FLAIR magnetic resonance.
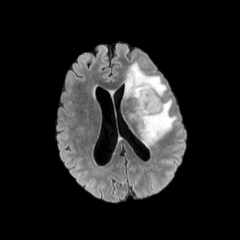
T1-weighted MR image.
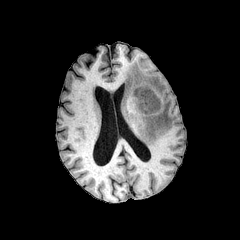
Post-contrast T1-weighted MR image.
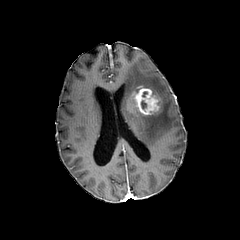
T2-weighted MRI.
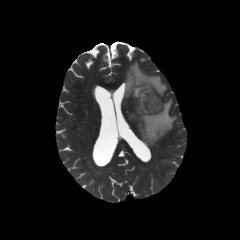
Axial view
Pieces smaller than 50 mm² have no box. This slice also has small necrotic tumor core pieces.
2 peritumoral edema regions appear at 124,62,166,98; 130,99,176,146. The enhancing tumor appears at 131,86,160,114.